240x240 px, Head, Axial plane, Slice index 89
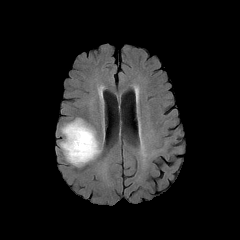
FLAIR magnetic resonance.
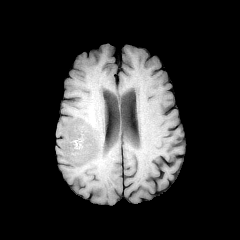
T1-weighted MR.
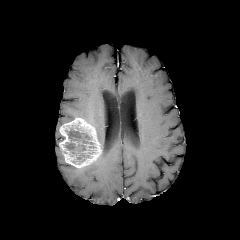
Same slice, post-contrast T1-weighted MR image.
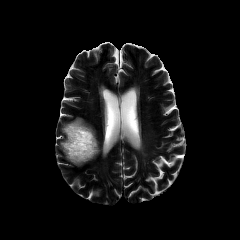
T2-weighted MRI.
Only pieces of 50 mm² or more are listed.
{"enhancing_tumor": ["x1=59 y1=117 x2=101 y2=168"], "necrotic_tumor_core": ["x1=65 y1=127 x2=93 y2=164"]}